Head. Axial plane.
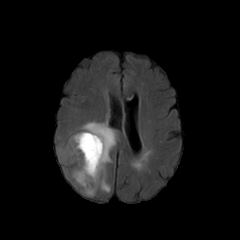
FLAIR MR image.
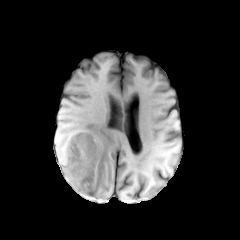
Same slice, T1-weighted MR.
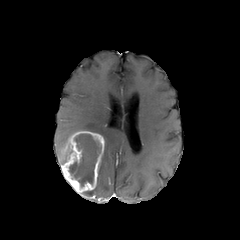
Post-contrast T1-weighted MR image of the same slice.
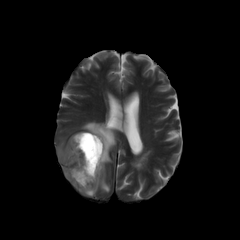
T2-weighted MR.
peritumoral edema at 58:139:72:164, 80:117:117:196
enhancing tumor at 61:131:104:194
necrotic tumor core at 69:134:100:186